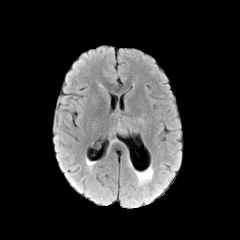
FLAIR MRI.
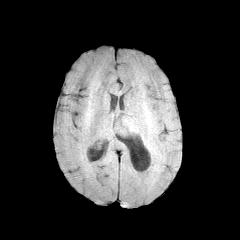
T1-weighted MR image.
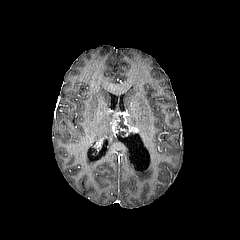
Same slice, post-contrast T1-weighted MRI.
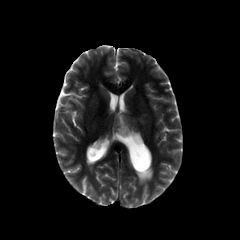
T2-weighted MR image.
Axial view; Brain
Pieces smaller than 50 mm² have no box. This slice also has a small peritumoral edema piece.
necrotic_tumor_core:
  - 118 115 128 131
enhancing_tumor:
  - 123 116 138 135
  - 112 112 121 134